Brain | Slice 103 of 155 | 240x240
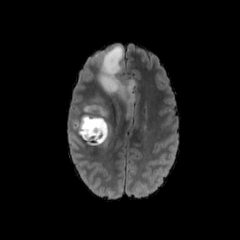
FLAIR MR image.
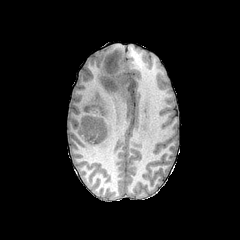
Same slice, T1-weighted MR.
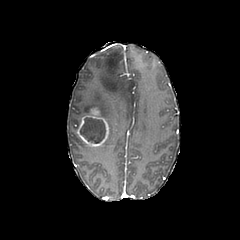
Post-contrast T1-weighted MR image.
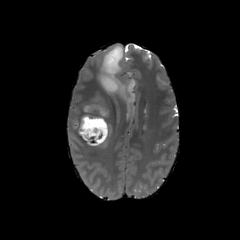
T2-weighted MR.
<segmentation>
  <peritumoral_edema>67 87 113 149, 96 45 137 129</peritumoral_edema>
  <necrotic_tumor_core>80 118 105 143</necrotic_tumor_core>
  <enhancing_tumor>76 107 108 146</enhancing_tumor>
</segmentation>